Axial view
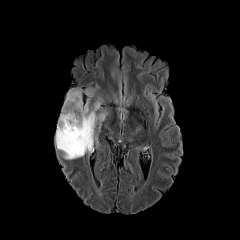
FLAIR MR.
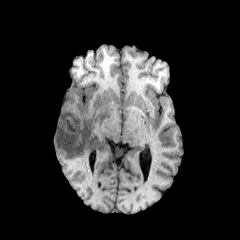
T1-weighted MRI.
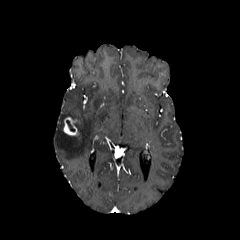
Post-contrast T1-weighted MR.
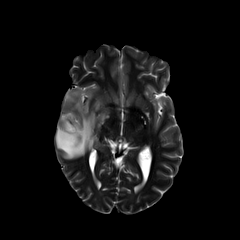
Same slice, T2-weighted MR image.
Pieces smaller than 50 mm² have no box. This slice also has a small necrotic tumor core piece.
{"peritumoral_edema": ["55,89,107,159"], "enhancing_tumor": ["63,117,78,135"]}